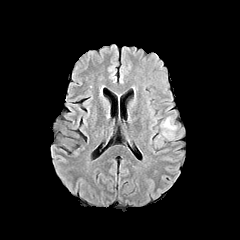
FLAIR magnetic resonance.
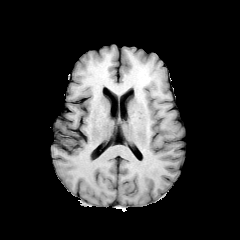
Same slice, T1-weighted magnetic resonance.
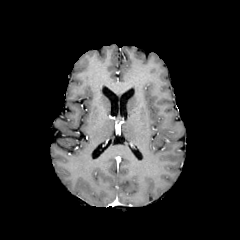
Post-contrast T1-weighted MR of the same slice.
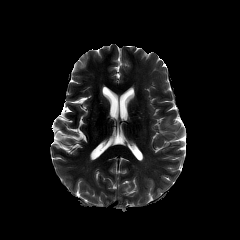
T2-weighted MR.
Brain
The peritumoral edema is located at (left=162, top=118, right=175, bottom=129).